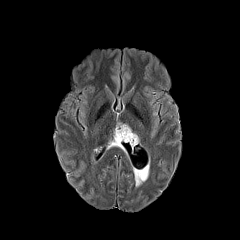
FLAIR MR image.
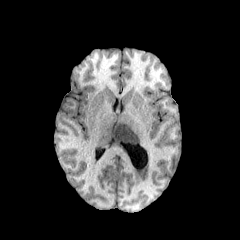
T1-weighted MRI.
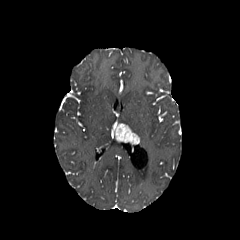
Post-contrast T1-weighted MRI.
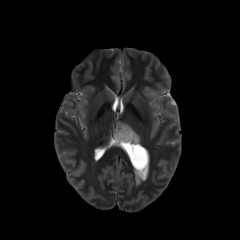
T2-weighted MR image of the same slice.
240x240 px
The enhancing tumor appears at [114,123,139,144]. The peritumoral edema is bounded by [108,140,122,148].